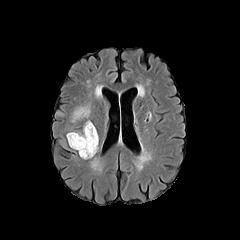
FLAIR magnetic resonance.
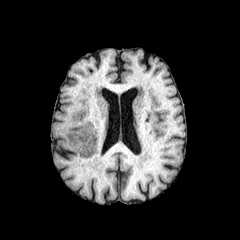
T1-weighted MR image of the same slice.
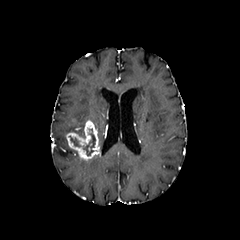
Post-contrast T1-weighted MR of the same slice.
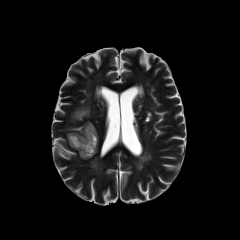
T2-weighted MR of the same slice.
Axial plane | 240x240 px
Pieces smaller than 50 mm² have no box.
enhancing tumor: bbox=[66, 120, 99, 159] | necrotic tumor core: bbox=[69, 136, 80, 146]; bbox=[83, 133, 95, 155] | peritumoral edema: bbox=[71, 106, 90, 122]